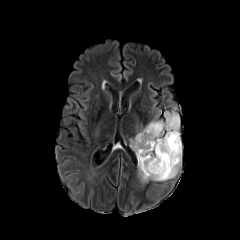
FLAIR magnetic resonance.
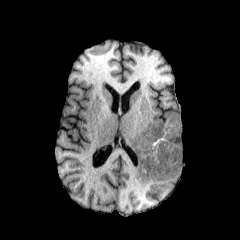
T1-weighted MR.
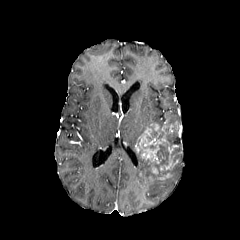
Post-contrast T1-weighted MR image.
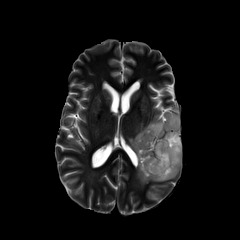
T2-weighted MR image of the same slice.
Axial slice.
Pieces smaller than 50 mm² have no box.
Annotated regions:
• necrotic tumor core: left=137, top=123, right=180, bottom=179
• peritumoral edema: left=164, top=112, right=179, bottom=124; left=130, top=120, right=164, bottom=150; left=137, top=155, right=180, bottom=183
• enhancing tumor: left=160, top=145, right=178, bottom=171; left=135, top=123, right=173, bottom=164; left=157, top=173, right=172, bottom=179